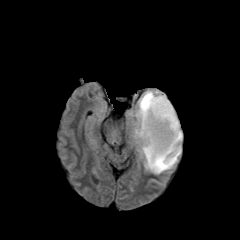
FLAIR MR image.
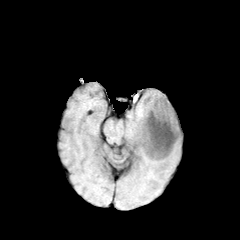
Same slice, T1-weighted MR image.
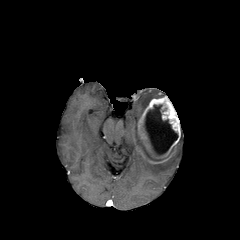
Post-contrast T1-weighted magnetic resonance of the same slice.
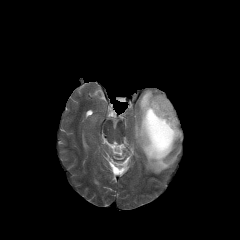
T2-weighted MR.
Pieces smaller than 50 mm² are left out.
The peritumoral edema is at x1=126 y1=90 x2=182 y2=174. The largest enhancing tumor region is located at x1=137 y1=96 x2=181 y2=163. The 2 largest necrotic tumor core regions appear at x1=140 y1=140 x2=163 y2=161, x1=143 y1=105 x2=178 y2=156.